Head; 240x240 px
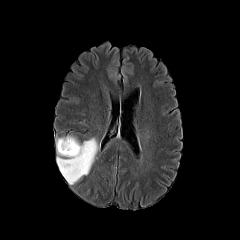
FLAIR MR image.
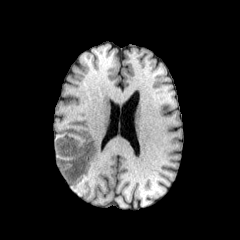
T1-weighted MRI.
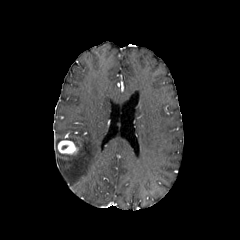
Same slice, post-contrast T1-weighted MR image.
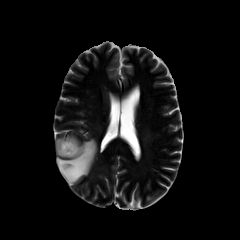
T2-weighted magnetic resonance of the same slice.
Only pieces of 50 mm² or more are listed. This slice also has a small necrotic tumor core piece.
peritumoral edema at 56, 136, 99, 184
enhancing tumor at 57, 140, 78, 154